Brain, Axial view
FLAIR magnetic resonance.
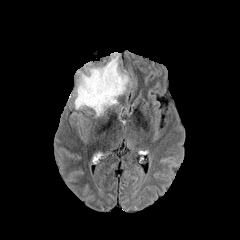
T1-weighted MR.
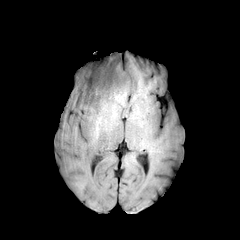
Post-contrast T1-weighted MR image.
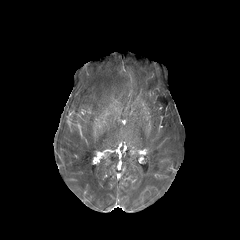
T2-weighted MR image.
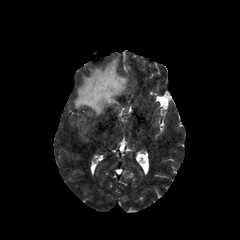
The peritumoral edema is bounded by x1=74 y1=56 x2=128 y2=116.